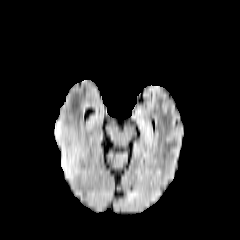
FLAIR MR image.
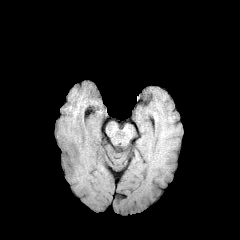
Same slice, T1-weighted MR image.
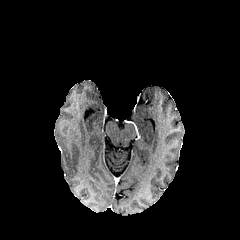
Post-contrast T1-weighted MR.
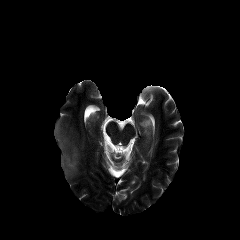
Same slice, T2-weighted MR image.
Axial plane; Brain
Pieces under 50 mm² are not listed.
peritumoral edema — box=[55, 121, 79, 177]